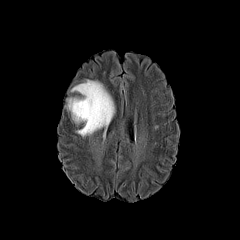
FLAIR MRI.
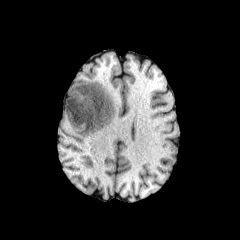
Same slice, T1-weighted MR.
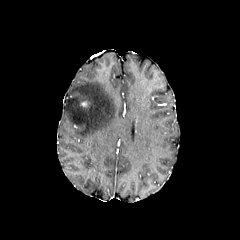
Post-contrast T1-weighted MR image.
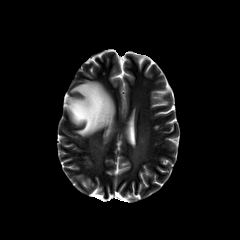
T2-weighted magnetic resonance of the same slice.
240x240 px
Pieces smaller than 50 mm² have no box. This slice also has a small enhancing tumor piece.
• peritumoral edema: bbox(66, 80, 115, 137)